Slice 58 of 155
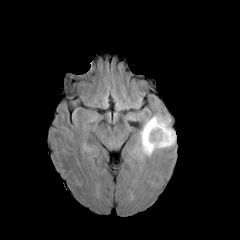
FLAIR MR image.
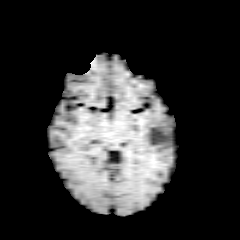
T1-weighted MR.
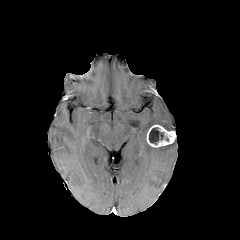
Post-contrast T1-weighted MR.
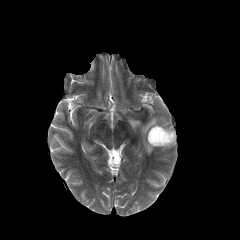
Same slice, T2-weighted MRI.
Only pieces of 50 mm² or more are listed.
enhancing tumor: [x1=146, y1=124, x2=176, y2=147] | peritumoral edema: [x1=140, y1=116, x2=175, y2=155] | necrotic tumor core: [x1=149, y1=127, x2=164, y2=144]